240x240 px
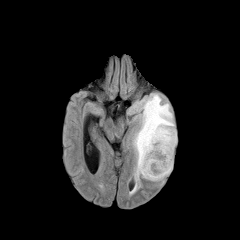
FLAIR MR.
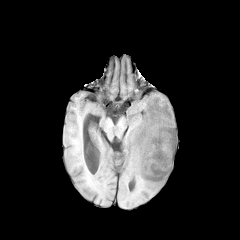
T1-weighted MR.
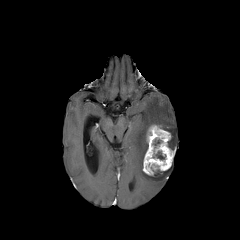
Post-contrast T1-weighted MRI.
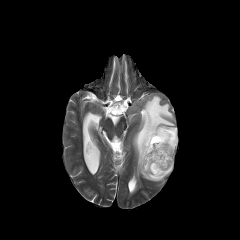
T2-weighted MR image of the same slice.
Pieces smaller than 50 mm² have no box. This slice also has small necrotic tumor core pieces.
enhancing tumor: {"x1": 143, "y1": 125, "x2": 174, "y2": 176}
peritumoral edema: {"x1": 133, "y1": 94, "x2": 177, "y2": 182}